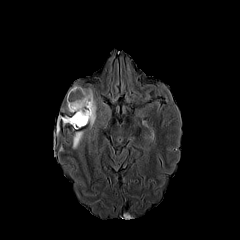
FLAIR MR.
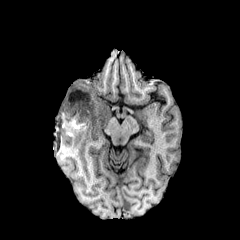
T1-weighted MRI.
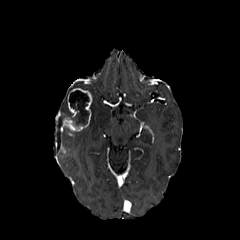
Post-contrast T1-weighted magnetic resonance.
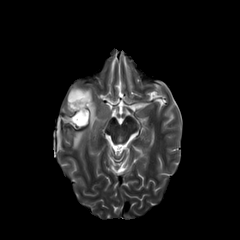
T2-weighted MR.
Head. Image size 240x240. Axial view.
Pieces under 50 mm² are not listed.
peritumoral edema at 69:85:96:148
necrotic tumor core at 69:90:89:125
enhancing tumor at 63:88:92:131